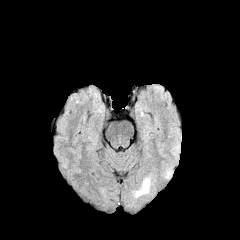
FLAIR MR.
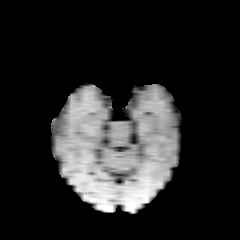
Same slice, T1-weighted MR.
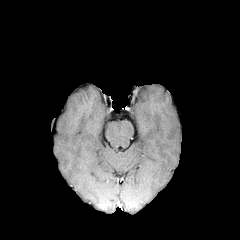
Post-contrast T1-weighted MRI of the same slice.
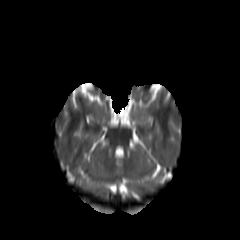
T2-weighted magnetic resonance of the same slice.
Axial view
peritumoral_edema:
  - left=133, top=177, right=151, bottom=197